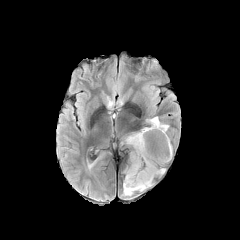
FLAIR magnetic resonance.
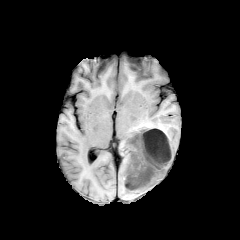
Same slice, T1-weighted magnetic resonance.
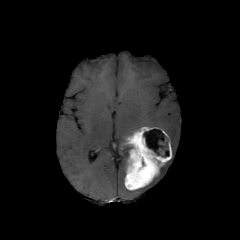
Post-contrast T1-weighted MR.
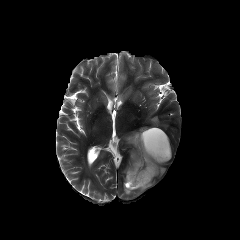
T2-weighted magnetic resonance.
Head | 240x240 px
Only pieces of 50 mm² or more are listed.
The largest necrotic tumor core region is at (143, 129, 169, 156). The 2 largest peritumoral edema regions appear at (123, 182, 152, 195), (149, 117, 168, 131). The largest enhancing tumor region lies within (124, 127, 171, 190).